FLAIR MRI.
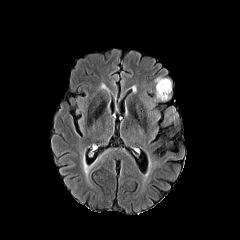
T1-weighted MRI.
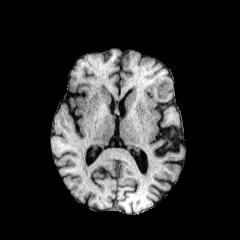
Post-contrast T1-weighted MRI.
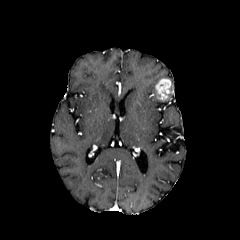
T2-weighted MR.
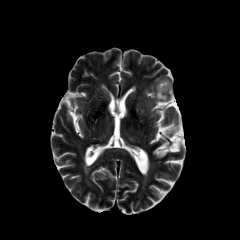
240x240.
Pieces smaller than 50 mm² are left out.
peritumoral edema at [166, 108, 176, 117]
enhancing tumor at [155, 78, 171, 100]